FLAIR magnetic resonance.
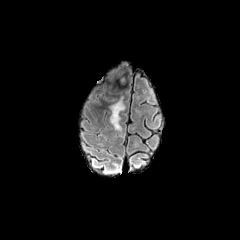
T1-weighted MR.
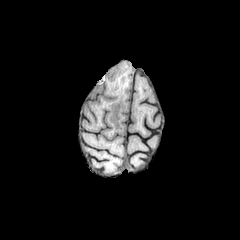
Post-contrast T1-weighted MR.
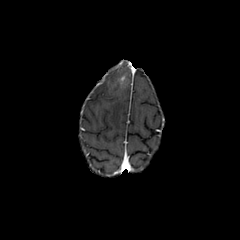
T2-weighted magnetic resonance.
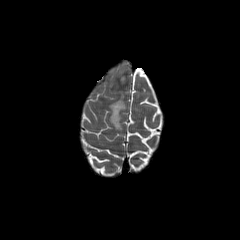
Head | 240x240
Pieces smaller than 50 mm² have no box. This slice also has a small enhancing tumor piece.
Segmented structures:
- peritumoral edema: x1=109, y1=98, x2=125, y2=130